Head. Slice 103 of 155.
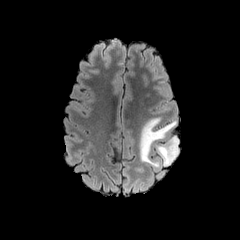
FLAIR MR.
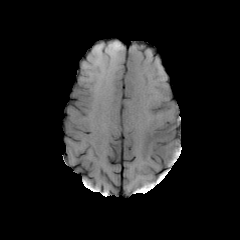
T1-weighted MR image.
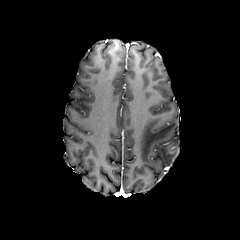
Post-contrast T1-weighted MR.
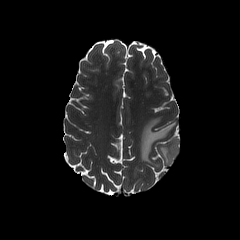
Same slice, T2-weighted MRI.
Segmented structures:
- peritumoral edema: (156, 136, 179, 165), (139, 117, 176, 168)